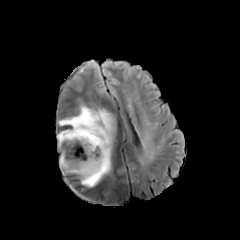
FLAIR magnetic resonance.
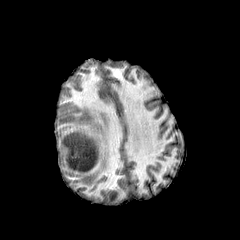
T1-weighted magnetic resonance of the same slice.
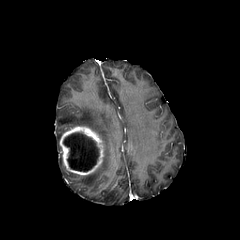
Post-contrast T1-weighted magnetic resonance.
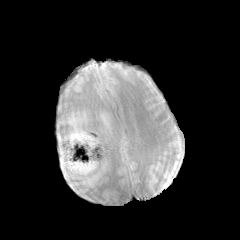
Same slice, T2-weighted magnetic resonance.
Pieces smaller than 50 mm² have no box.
{"enhancing_tumor": ["region(59, 126, 104, 175)"], "peritumoral_edema": ["region(57, 106, 114, 187)", "region(59, 156, 73, 174)"], "necrotic_tumor_core": ["region(63, 132, 99, 171)"]}